FLAIR MRI.
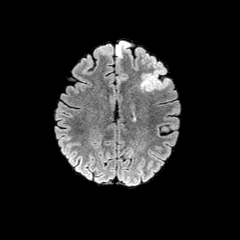
T1-weighted magnetic resonance.
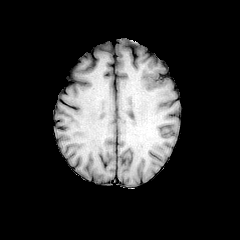
Post-contrast T1-weighted magnetic resonance.
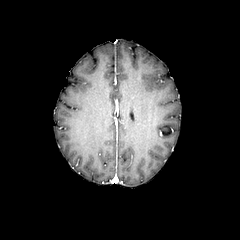
T2-weighted MRI.
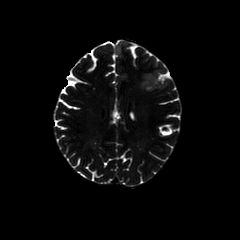
peritumoral edema at [115,40,127,58], [140,69,169,91]